FLAIR magnetic resonance.
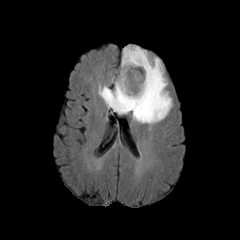
T1-weighted MRI.
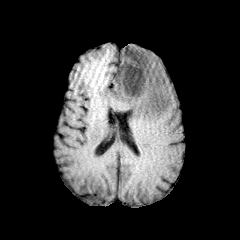
Post-contrast T1-weighted MR.
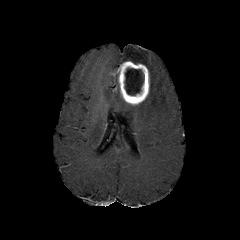
T2-weighted MR.
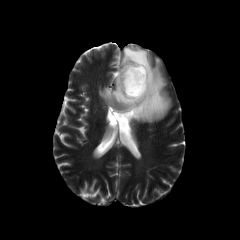
peritumoral edema — bbox(98, 45, 172, 123)
enhancing tumor — bbox(114, 61, 149, 105)
necrotic tumor core — bbox(125, 68, 143, 95)